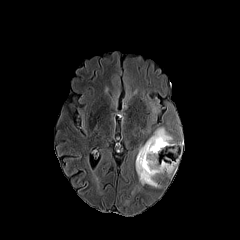
FLAIR MR.
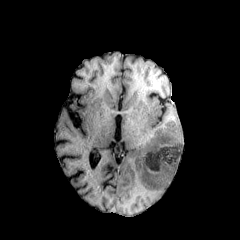
Same slice, T1-weighted MR image.
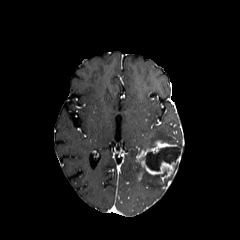
Post-contrast T1-weighted magnetic resonance.
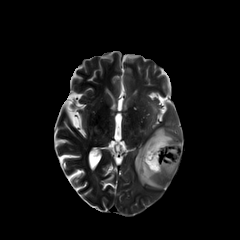
T2-weighted MR.
Brain, Image size 240x240, Axial view
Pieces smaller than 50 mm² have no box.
peritumoral edema: {"x1": 139, "y1": 127, "x2": 181, "y2": 152}, {"x1": 135, "y1": 161, "x2": 160, "y2": 187}
necrotic tumor core: {"x1": 145, "y1": 147, "x2": 179, "y2": 170}
enhancing tumor: {"x1": 136, "y1": 140, "x2": 181, "y2": 177}